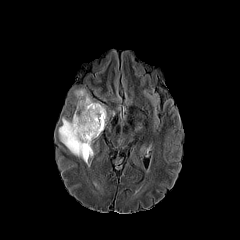
FLAIR MRI.
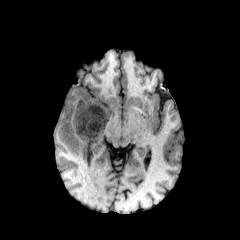
T1-weighted MR.
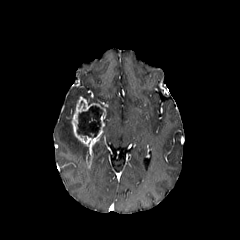
Post-contrast T1-weighted magnetic resonance of the same slice.
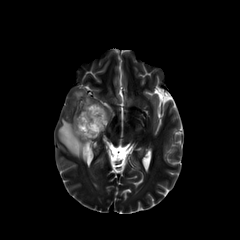
T2-weighted magnetic resonance.
Axial view | Head
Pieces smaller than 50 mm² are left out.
Findings:
• necrotic tumor core: (left=77, top=105, right=103, bottom=138)
• enhancing tumor: (left=71, top=96, right=106, bottom=153)
• peritumoral edema: (left=74, top=89, right=93, bottom=105), (left=58, top=117, right=88, bottom=162)